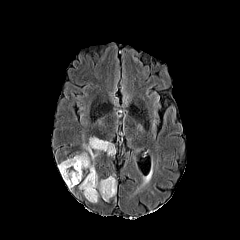
FLAIR magnetic resonance.
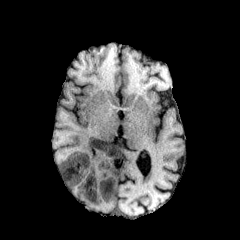
Same slice, T1-weighted MR image.
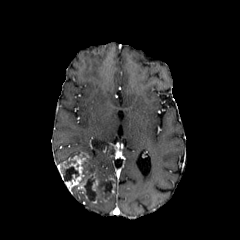
Post-contrast T1-weighted MR.
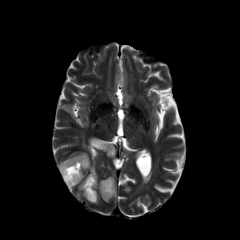
Same slice, T2-weighted MR image.
Axial slice
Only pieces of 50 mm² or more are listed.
{
  "necrotic_tumor_core": [
    "bbox(84, 176, 96, 200)",
    "bbox(63, 167, 78, 181)",
    "bbox(98, 180, 113, 194)"
  ],
  "enhancing_tumor": [
    "bbox(57, 152, 100, 202)"
  ],
  "peritumoral_edema": [
    "bbox(99, 179, 106, 188)",
    "bbox(101, 181, 117, 201)",
    "bbox(85, 159, 97, 177)",
    "bbox(83, 136, 115, 160)"
  ]
}